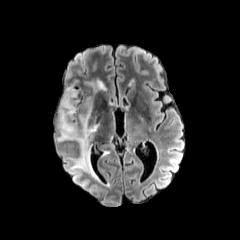
FLAIR MR image.
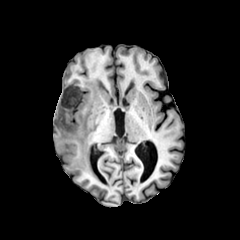
Same slice, T1-weighted MR.
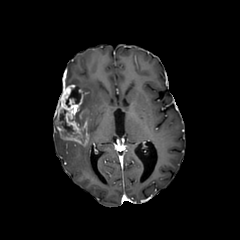
Post-contrast T1-weighted MR.
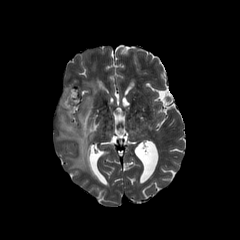
T2-weighted magnetic resonance.
240x240 px
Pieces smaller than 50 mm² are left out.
enhancing tumor: <box>55,85,89,146</box> | peritumoral edema: <box>75,108,81,126</box>, <box>68,142,98,179</box>, <box>88,121,98,136</box>, <box>82,97,92,118</box>, <box>84,80,106,92</box> | necrotic tumor core: <box>59,110,77,135</box>, <box>66,87,80,106</box>